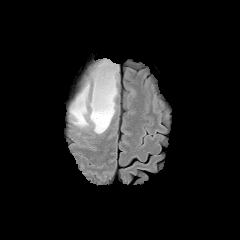
FLAIR MR.
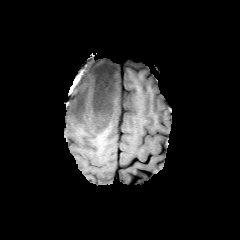
T1-weighted MR of the same slice.
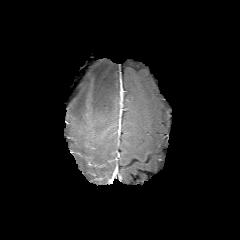
Same slice, post-contrast T1-weighted MR.
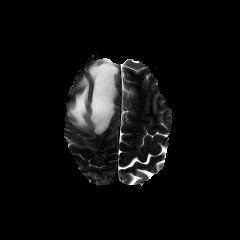
T2-weighted MR.
240x240
peritumoral_edema:
  - bbox=[69, 60, 118, 134]